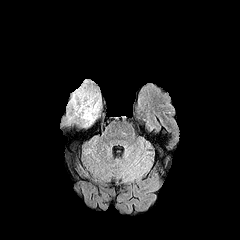
FLAIR magnetic resonance.
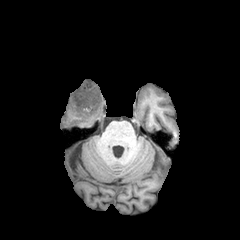
T1-weighted MRI.
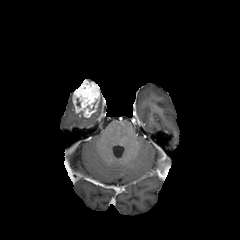
Post-contrast T1-weighted MR image.
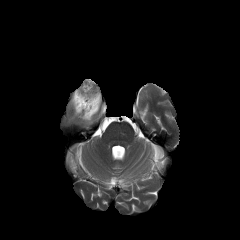
T2-weighted MR.
Brain
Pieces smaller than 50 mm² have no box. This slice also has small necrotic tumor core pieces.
peritumoral edema at 68,99,101,125
enhancing tumor at 72,79,100,117